FLAIR MR image.
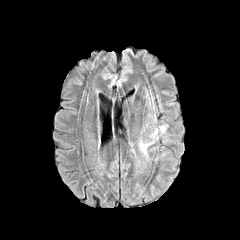
T1-weighted magnetic resonance.
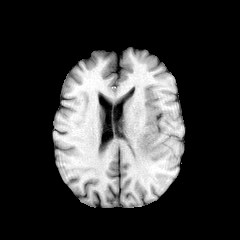
Post-contrast T1-weighted magnetic resonance.
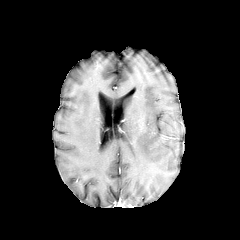
T2-weighted magnetic resonance.
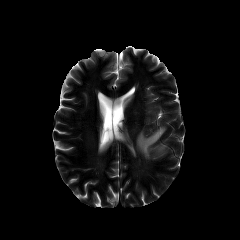
Axial slice
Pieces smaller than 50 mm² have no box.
Annotated regions:
* peritumoral edema: region(139, 130, 158, 155)